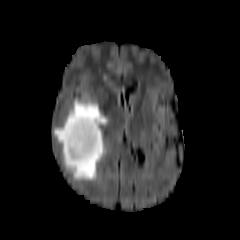
FLAIR MRI.
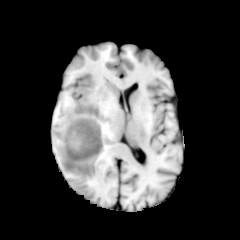
T1-weighted magnetic resonance of the same slice.
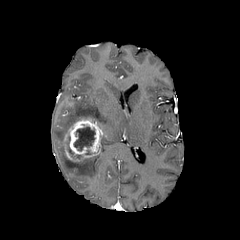
Post-contrast T1-weighted MR.
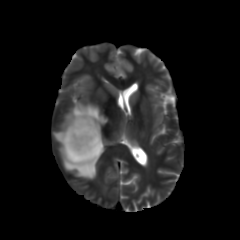
Same slice, T2-weighted MR.
Image size 240x240. Axial view. Head.
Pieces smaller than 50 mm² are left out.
The enhancing tumor is bounded by x1=63, y1=117, x2=101, y2=162. The peritumoral edema lies within x1=53, y1=99, x2=108, y2=180. The 2 largest necrotic tumor core regions are bounded by x1=73, y1=126, x2=95, y2=154; x1=67, y1=136, x2=81, y2=159.